Axial slice. Head. 240x240. Slice 92/155.
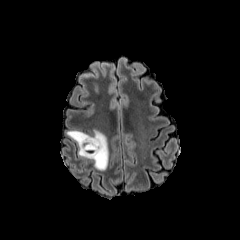
FLAIR MRI.
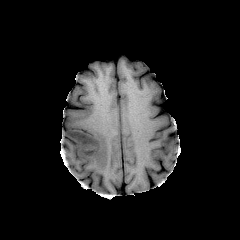
T1-weighted MRI.
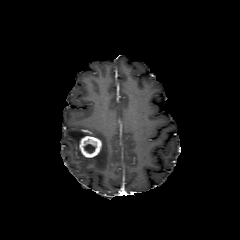
Post-contrast T1-weighted MR image.
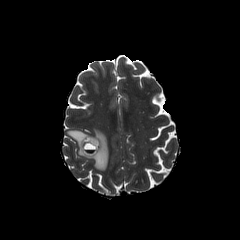
Same slice, T2-weighted MR image.
enhancing tumor at {"x1": 79, "y1": 136, "x2": 101, "y2": 157}
peritumoral edema at {"x1": 67, "y1": 129, "x2": 109, "y2": 170}
necrotic tumor core at {"x1": 84, "y1": 144, "x2": 95, "y2": 153}